FLAIR MR.
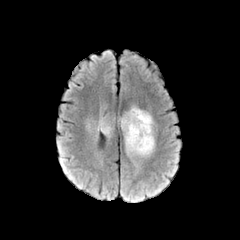
T1-weighted MRI.
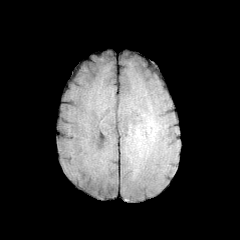
Post-contrast T1-weighted MRI.
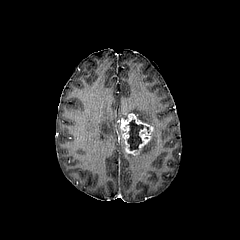
T2-weighted MR.
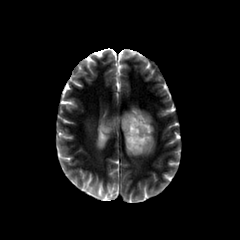
Brain.
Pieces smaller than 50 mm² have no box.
enhancing tumor at region(118, 113, 153, 155)
peritumoral edema at region(125, 106, 153, 126); region(135, 131, 154, 155); region(98, 119, 112, 136)
necrotic tumor core at region(127, 120, 143, 150)